Image covers 240 mm x 240 mm; Head; Axial view
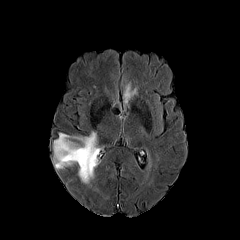
FLAIR MR image.
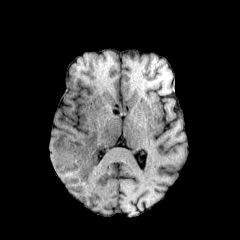
T1-weighted MR of the same slice.
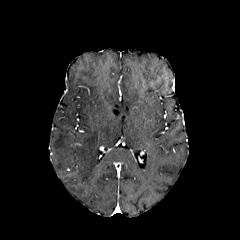
Post-contrast T1-weighted MRI.
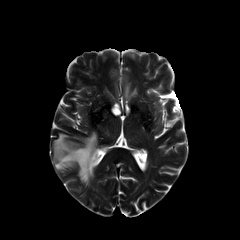
T2-weighted MR of the same slice.
peritumoral edema: [53, 132, 99, 183]